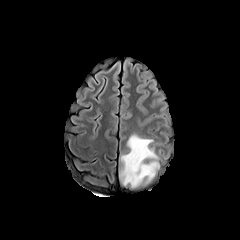
FLAIR magnetic resonance.
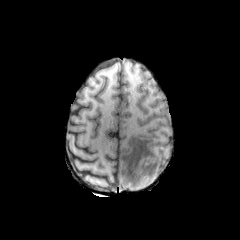
T1-weighted MR.
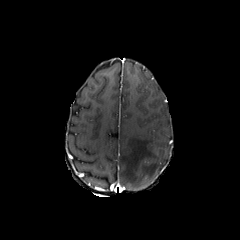
Post-contrast T1-weighted MR image.
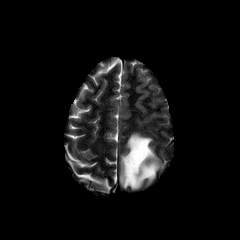
Same slice, T2-weighted MR.
The peritumoral edema appears at [x1=120, y1=134, x2=159, y2=188].